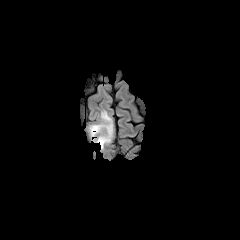
FLAIR MR image.
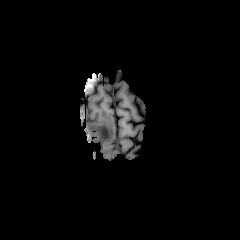
Same slice, T1-weighted MR.
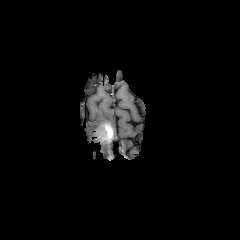
Post-contrast T1-weighted MRI of the same slice.
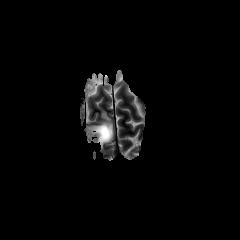
T2-weighted MRI of the same slice.
Axial view. 240x240 px. Brain.
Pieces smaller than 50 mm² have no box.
enhancing_tumor:
  - region(95, 122, 113, 143)
peritumoral_edema:
  - region(86, 110, 115, 142)